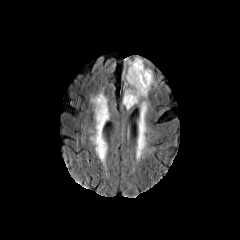
FLAIR MRI.
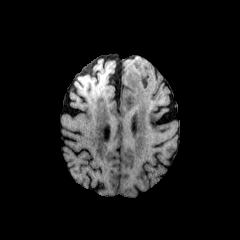
T1-weighted MR.
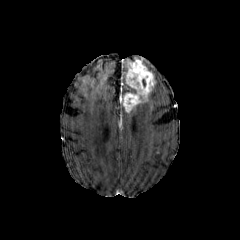
Same slice, post-contrast T1-weighted MR image.
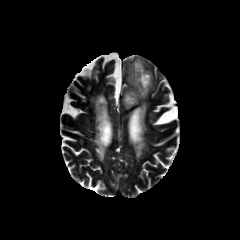
T2-weighted MR of the same slice.
Brain.
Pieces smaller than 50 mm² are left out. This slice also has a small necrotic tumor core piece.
Annotated regions:
• peritumoral edema: [123,58,136,93]
• enhancing tumor: [122,58,154,111]